FLAIR magnetic resonance.
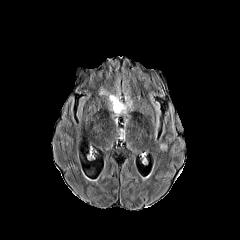
T1-weighted MR image.
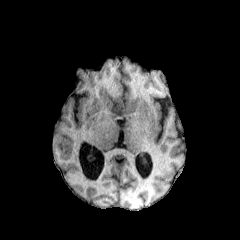
Post-contrast T1-weighted MRI.
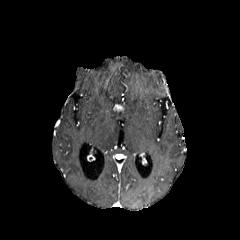
T2-weighted MR image.
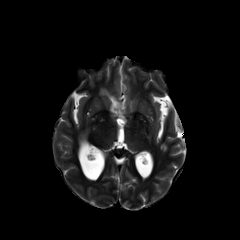
Axial plane.
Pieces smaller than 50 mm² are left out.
The enhancing tumor is located at (114, 104, 123, 110). The largest peritumoral edema region appears at (109, 95, 126, 115).